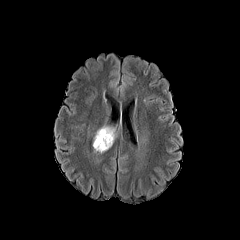
FLAIR MR.
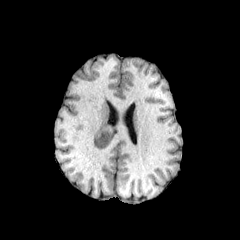
Same slice, T1-weighted MR.
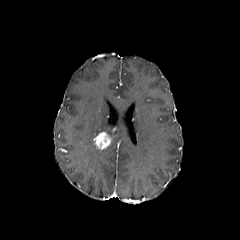
Same slice, post-contrast T1-weighted MR.
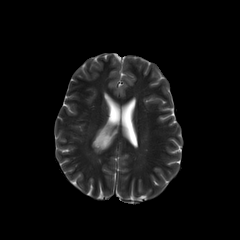
T2-weighted magnetic resonance.
Axial view
The enhancing tumor is at [x1=93, y1=131, x2=112, y2=149]. The peritumoral edema appears at [x1=93, y1=127, x2=114, y2=152].